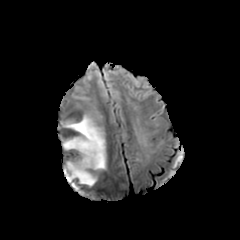
FLAIR magnetic resonance.
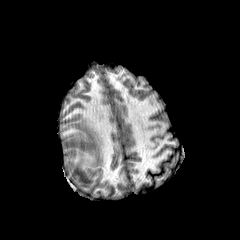
T1-weighted MR image of the same slice.
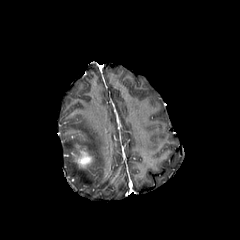
Post-contrast T1-weighted MR of the same slice.
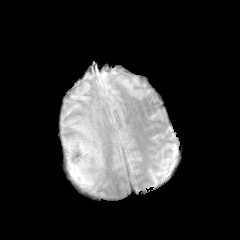
T2-weighted MRI.
Brain; Axial view
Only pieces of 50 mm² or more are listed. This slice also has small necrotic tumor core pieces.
• enhancing tumor: region(71, 144, 91, 167)
• peritumoral edema: region(62, 111, 106, 186)